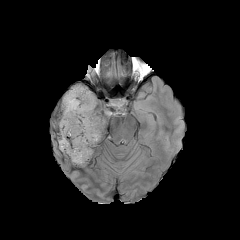
FLAIR MRI.
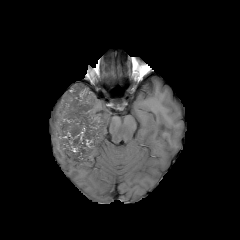
T1-weighted magnetic resonance.
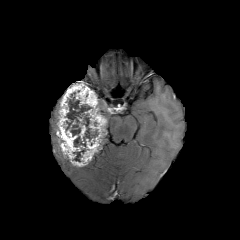
Same slice, post-contrast T1-weighted MRI.
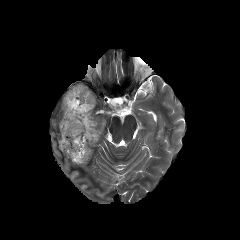
T2-weighted MR image.
Brain
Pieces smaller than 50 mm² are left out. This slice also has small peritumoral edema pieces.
necrotic tumor core: bounding box <bbox>73, 148, 85, 161</bbox>, <bbox>66, 92, 98, 147</bbox>
enhancing tumor: bounding box <bbox>57, 83, 106, 166</bbox>, <bbox>77, 116, 86, 142</bbox>